FLAIR MR image.
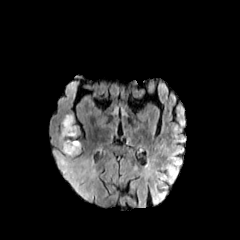
T1-weighted MR image.
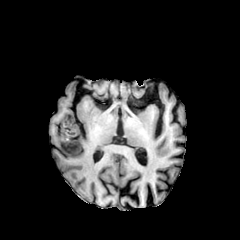
Post-contrast T1-weighted magnetic resonance.
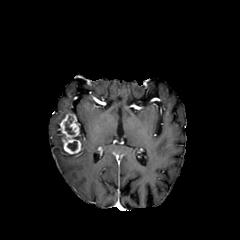
T2-weighted MRI.
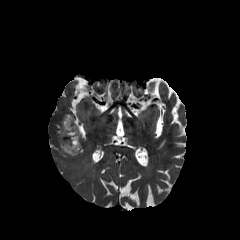
Head
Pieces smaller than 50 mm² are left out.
peritumoral_edema:
  - {"x1": 99, "y1": 116, "x2": 108, "y2": 124}
  - {"x1": 51, "y1": 131, "x2": 95, "y2": 202}
necrotic_tumor_core:
  - {"x1": 65, "y1": 122, "x2": 74, "y2": 134}
  - {"x1": 67, "y1": 141, "x2": 77, "y2": 150}
enhancing_tumor:
  - {"x1": 59, "y1": 113, "x2": 81, "y2": 154}